Axial view
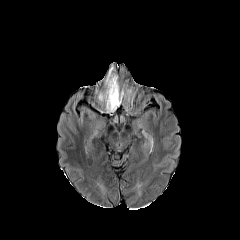
FLAIR MRI.
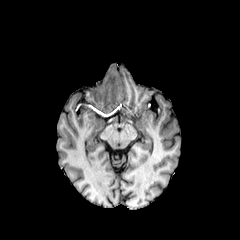
Same slice, T1-weighted MRI.
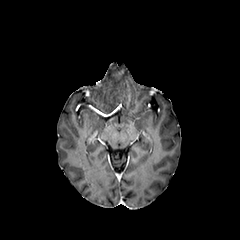
Post-contrast T1-weighted MR image.
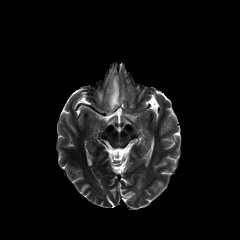
T2-weighted magnetic resonance.
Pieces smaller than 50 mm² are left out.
The largest peritumoral edema region is at (left=106, top=68, right=123, bottom=111).